240x240 px, Head
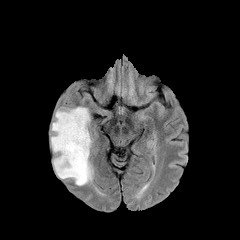
FLAIR MR.
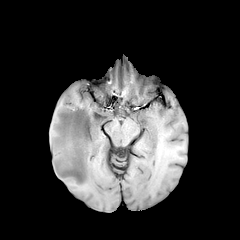
T1-weighted MRI.
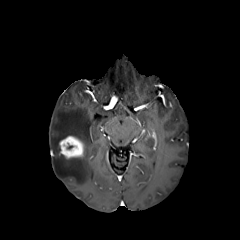
Post-contrast T1-weighted MR of the same slice.
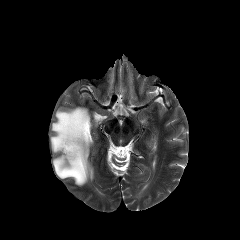
T2-weighted MR.
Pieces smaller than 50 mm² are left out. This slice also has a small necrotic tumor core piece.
peritumoral_edema:
  - rect(51, 107, 93, 185)
enhancing_tumor:
  - rect(59, 136, 85, 159)